Slice 93 of 155; 240x240 px
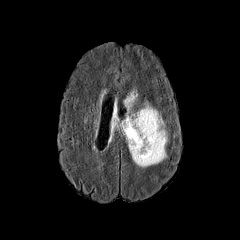
FLAIR magnetic resonance.
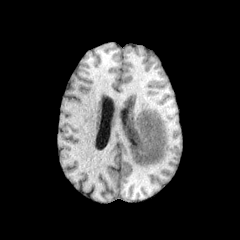
T1-weighted magnetic resonance.
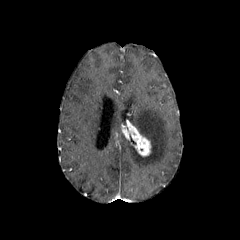
Post-contrast T1-weighted MR image of the same slice.
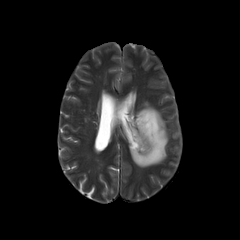
T2-weighted MR image.
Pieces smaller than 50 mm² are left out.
enhancing tumor at rect(120, 120, 151, 156)
peritumoral edema at rect(126, 103, 167, 167); rect(125, 93, 135, 109); rect(109, 115, 118, 141)